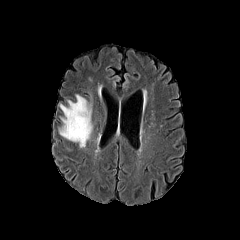
FLAIR MR.
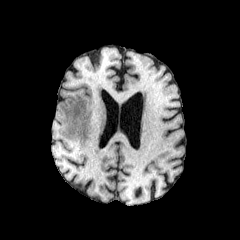
Same slice, T1-weighted MR image.
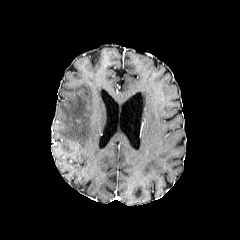
Post-contrast T1-weighted MR of the same slice.
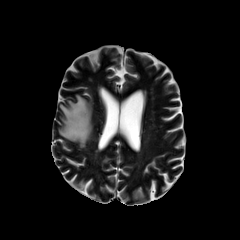
Same slice, T2-weighted MRI.
Axial slice
peritumoral edema — <box>59,94,92,147</box>